FLAIR MR.
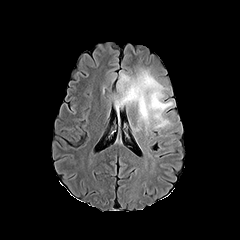
T1-weighted MR image.
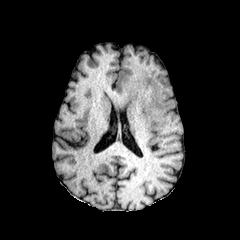
Post-contrast T1-weighted MR image.
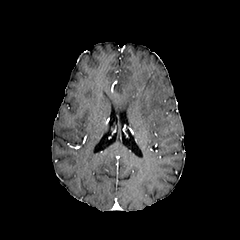
T2-weighted magnetic resonance.
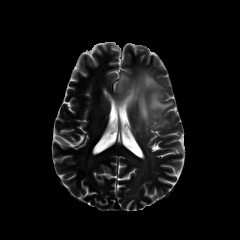
Brain; 240x240 px; Axial view
<segmentation>
  <peritumoral_edema>{"x1": 115, "y1": 69, "x2": 173, "y2": 130}</peritumoral_edema>
</segmentation>